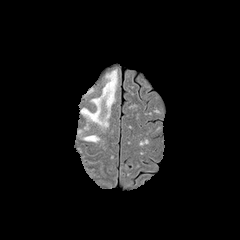
FLAIR magnetic resonance.
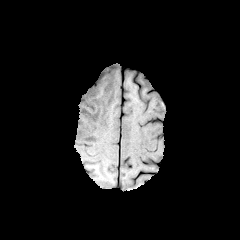
T1-weighted MRI.
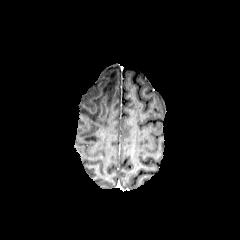
Post-contrast T1-weighted MR.
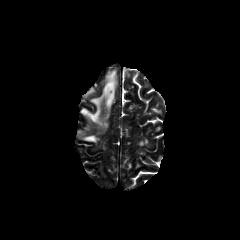
T2-weighted MR image.
240x240 px; Head
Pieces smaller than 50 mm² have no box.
peritumoral_edema:
  - left=82, top=135, right=99, bottom=142
  - left=80, top=70, right=117, bottom=129